FLAIR MRI.
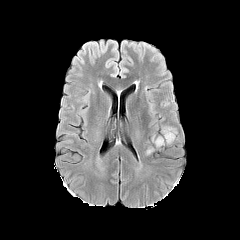
T1-weighted MR image.
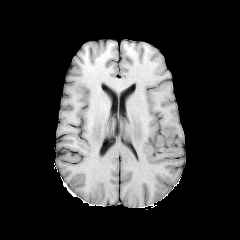
Post-contrast T1-weighted magnetic resonance.
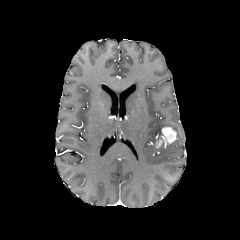
T2-weighted MR image.
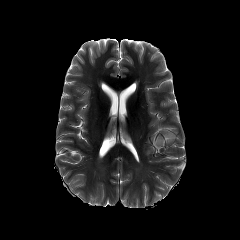
240x240 px; Head
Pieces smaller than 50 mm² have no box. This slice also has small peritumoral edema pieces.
Annotated regions:
• enhancing tumor: (156, 126, 176, 148)